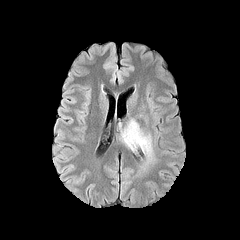
FLAIR magnetic resonance.
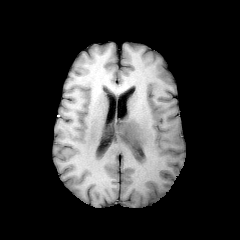
T1-weighted MR image of the same slice.
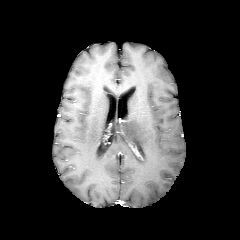
Post-contrast T1-weighted magnetic resonance.
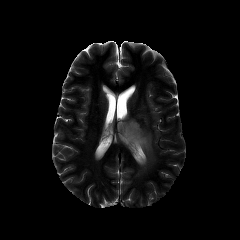
Same slice, T2-weighted MR.
240x240. Axial view. Brain.
The peritumoral edema is located at [126,118,154,165].